Axial view. 240x240 px. Brain.
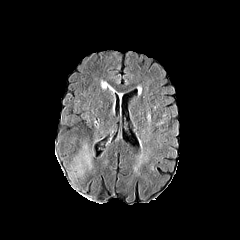
FLAIR MR.
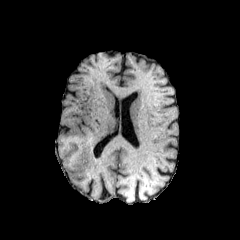
T1-weighted MR of the same slice.
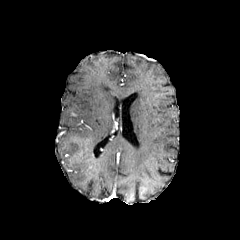
Post-contrast T1-weighted MR image.
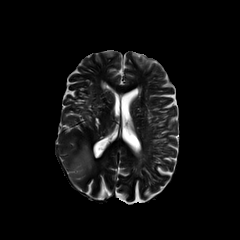
T2-weighted MR image.
The peritumoral edema is at {"x1": 71, "y1": 145, "x2": 92, "y2": 177}.